Brain, Image width 240 mm
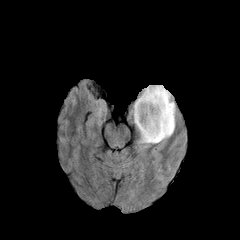
FLAIR magnetic resonance.
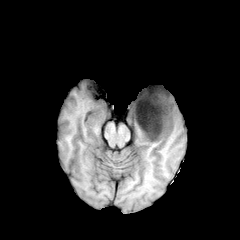
T1-weighted MR.
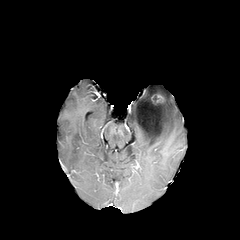
Same slice, post-contrast T1-weighted MRI.
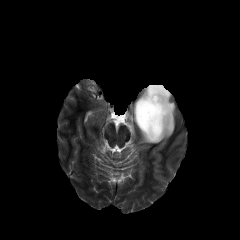
T2-weighted MRI.
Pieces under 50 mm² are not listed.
{
  "necrotic_tumor_core": [
    "[136,88,170,138]"
  ],
  "peritumoral_edema": [
    "[131,85,176,144]"
  ],
  "enhancing_tumor": [
    "[134,95,161,139]",
    "[151,94,162,104]",
    "[144,86,171,131]"
  ]
}